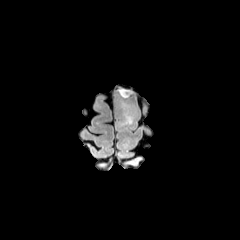
FLAIR MRI.
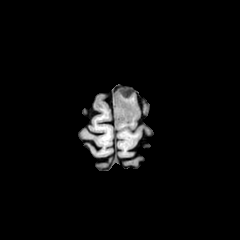
Same slice, T1-weighted MR image.
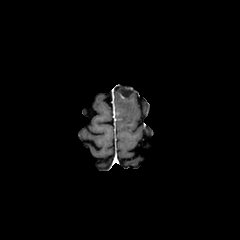
Same slice, post-contrast T1-weighted magnetic resonance.
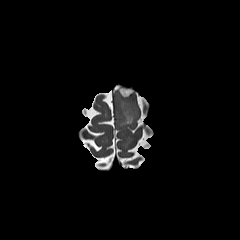
T2-weighted MR image.
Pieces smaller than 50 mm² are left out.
The largest enhancing tumor region is bounded by box=[117, 86, 133, 99]. The peritumoral edema is located at box=[115, 92, 138, 126].